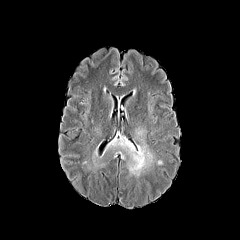
FLAIR magnetic resonance.
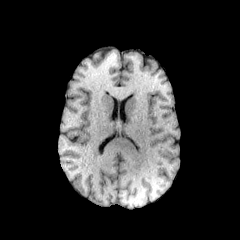
T1-weighted magnetic resonance.
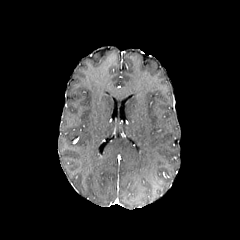
Post-contrast T1-weighted MR image.
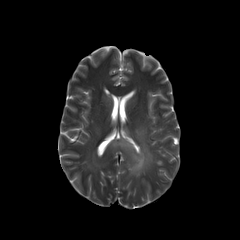
T2-weighted MR image.
240x240 px. Axial plane.
2 peritumoral edema regions are bounded by (106, 125, 165, 178), (87, 147, 106, 172).